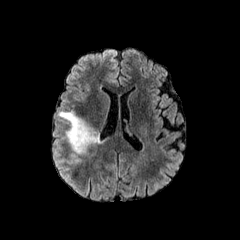
FLAIR MRI.
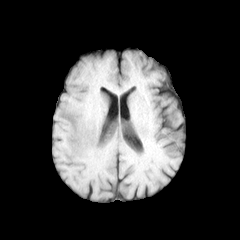
T1-weighted MR.
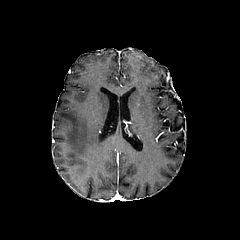
Post-contrast T1-weighted MR of the same slice.
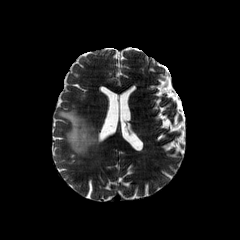
Same slice, T2-weighted MRI.
Brain; Image size 240x240
• peritumoral edema: left=58, top=111, right=100, bottom=154